FLAIR magnetic resonance.
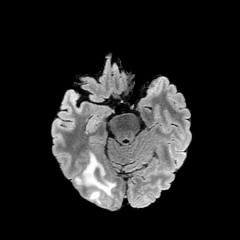
T1-weighted magnetic resonance.
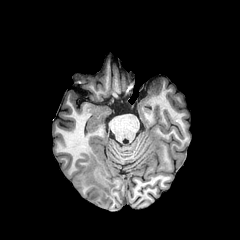
Post-contrast T1-weighted MRI.
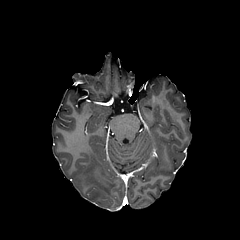
T2-weighted MR.
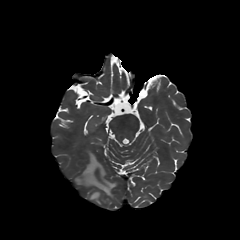
240x240 px | Head
The peritumoral edema is at (74,152,116,205).